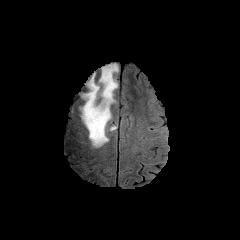
FLAIR MR image.
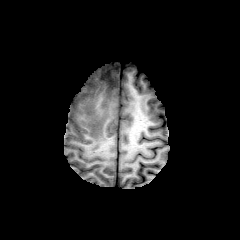
T1-weighted MR of the same slice.
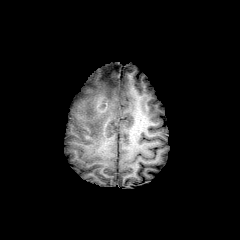
Same slice, post-contrast T1-weighted MR.
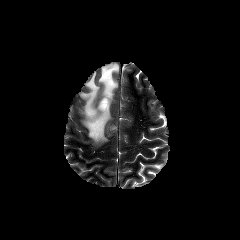
T2-weighted magnetic resonance of the same slice.
Axial view. 240x240 px. Brain.
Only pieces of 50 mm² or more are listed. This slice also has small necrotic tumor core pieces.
enhancing_tumor:
  - (97, 97, 108, 112)
peritumoral_edema:
  - (81, 63, 118, 146)